Axial view; Head
FLAIR MRI.
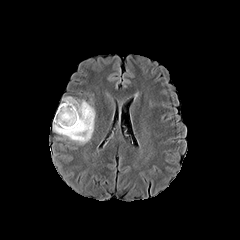
T1-weighted MRI.
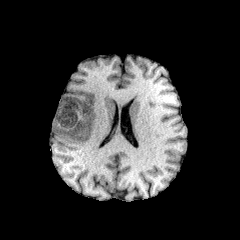
Post-contrast T1-weighted MR.
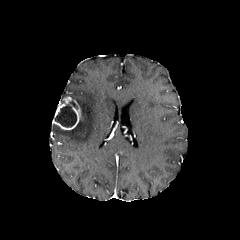
T2-weighted MRI.
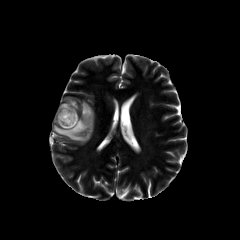
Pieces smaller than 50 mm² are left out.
The largest peritumoral edema region is at (53,100,95,144). The largest necrotic tumor core region is located at (55,104,76,127). The enhancing tumor is bounded by (53,96,81,130).